FLAIR MR.
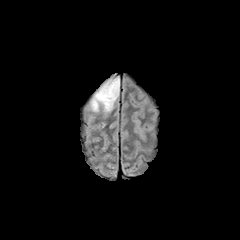
T1-weighted MR.
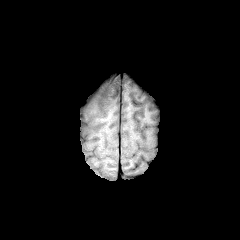
Post-contrast T1-weighted MR.
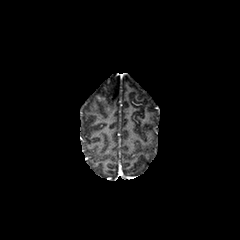
T2-weighted MR image.
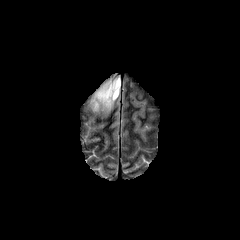
Axial view; Brain
peritumoral edema: box=[90, 77, 119, 113] | enhancing tumor: box=[95, 94, 108, 103]